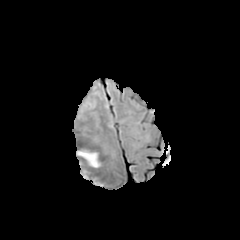
FLAIR magnetic resonance.
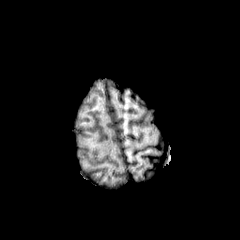
Same slice, T1-weighted MR.
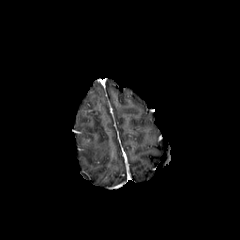
Post-contrast T1-weighted MR image of the same slice.
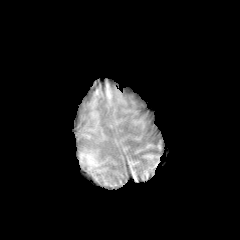
T2-weighted MRI.
Axial slice | Brain
The peritumoral edema is bounded by x1=78, y1=149, x2=98, y2=166.